FLAIR MR.
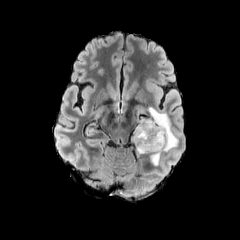
T1-weighted MR image.
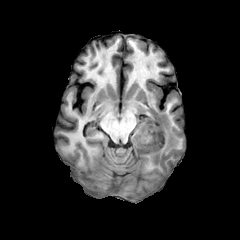
Post-contrast T1-weighted MRI.
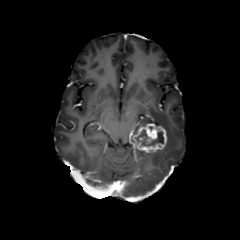
T2-weighted MRI.
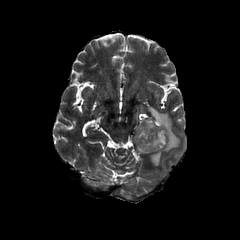
Axial slice. Brain.
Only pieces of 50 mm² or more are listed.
enhancing_tumor:
  - <box>133,123,166,152</box>
necrotic_tumor_core:
  - <box>136,130,163,145</box>
peritumoral_edema:
  - <box>131,107,178,166</box>